Brain. Slice 128/155.
FLAIR MRI.
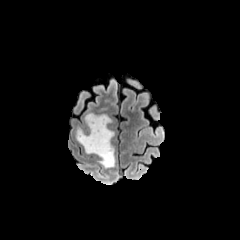
T1-weighted MRI.
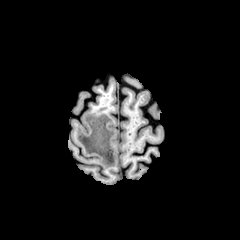
Post-contrast T1-weighted MR.
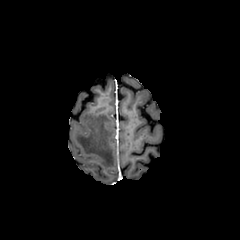
T2-weighted MR image.
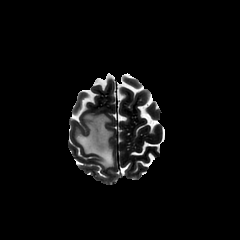
The peritumoral edema lies within box(76, 113, 114, 168).